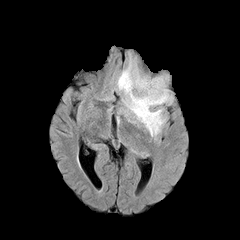
FLAIR MR.
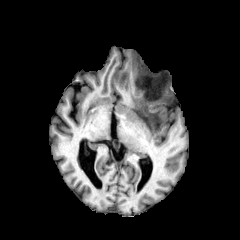
T1-weighted magnetic resonance.
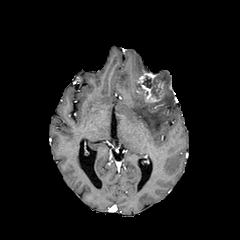
Post-contrast T1-weighted magnetic resonance.
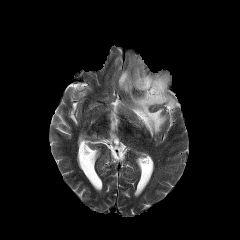
T2-weighted magnetic resonance of the same slice.
Axial plane | Brain | 240x240 px
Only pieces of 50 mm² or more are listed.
The peritumoral edema is at bbox(117, 55, 172, 136). The 2 largest necrotic tumor core regions appear at bbox(151, 87, 161, 98); bbox(142, 75, 165, 87). The largest enhancing tumor region is bounded by bbox(136, 72, 165, 102).